Axial view; Image covers 240 mm x 240 mm
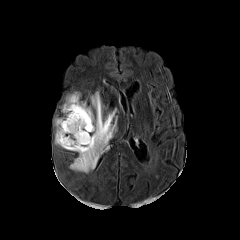
FLAIR MR image.
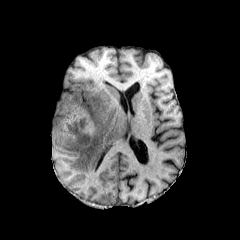
T1-weighted MR.
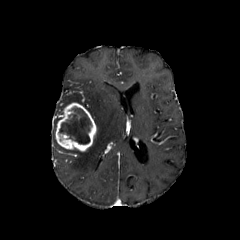
Post-contrast T1-weighted MRI of the same slice.
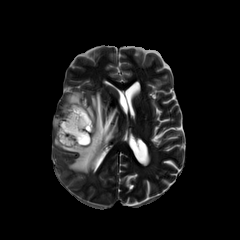
T2-weighted magnetic resonance.
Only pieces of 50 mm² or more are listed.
{
  "peritumoral_edema": [
    "(x1=63, y1=91, x2=117, y2=173)"
  ],
  "necrotic_tumor_core": [
    "(x1=59, y1=107, x2=91, y2=144)"
  ],
  "enhancing_tumor": [
    "(x1=55, y1=102, x2=96, y2=151)"
  ]
}